FLAIR MRI.
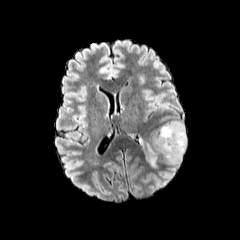
T1-weighted magnetic resonance.
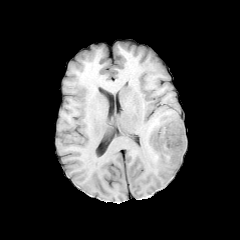
Post-contrast T1-weighted MR.
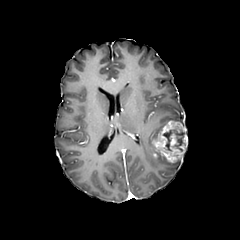
T2-weighted MRI.
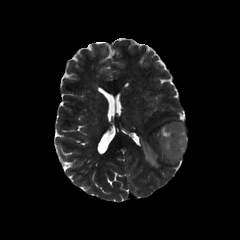
Axial view | Image size 240x240
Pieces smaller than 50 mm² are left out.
enhancing tumor at [x1=150, y1=120, x2=187, y2=163]
necrotic tumor core at [x1=163, y1=129, x2=183, y2=150]
peritumoral edema at [x1=150, y1=124, x2=165, y2=140], [x1=143, y1=142, x2=157, y2=167]